Head; Slice 47 of 155
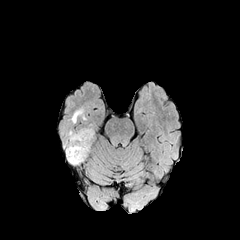
FLAIR magnetic resonance.
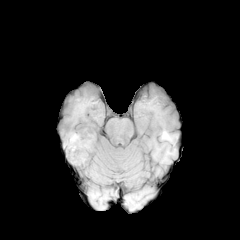
T1-weighted MR image.
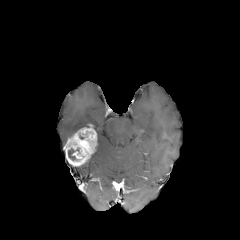
Post-contrast T1-weighted magnetic resonance.
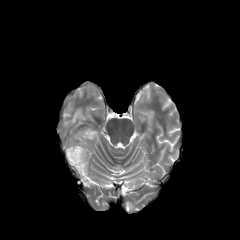
T2-weighted MRI of the same slice.
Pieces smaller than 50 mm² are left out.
The largest necrotic tumor core region is at l=68, t=148, r=75, b=160. The peritumoral edema is located at l=71, t=109, r=85, b=123. The enhancing tumor is at l=64, t=124, r=96, b=166.